FLAIR magnetic resonance.
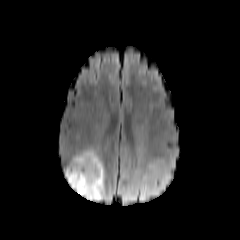
T1-weighted MRI.
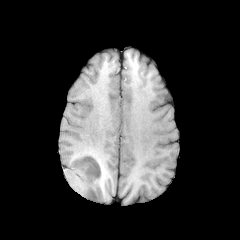
Post-contrast T1-weighted MR image.
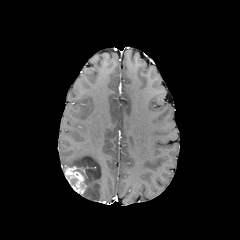
T2-weighted MR.
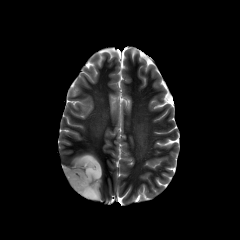
Head
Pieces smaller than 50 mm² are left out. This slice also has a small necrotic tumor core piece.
Findings:
* peritumoral edema: x1=71, y1=151, x2=104, y2=200
* enhancing tumor: x1=64, y1=166, x2=86, y2=195